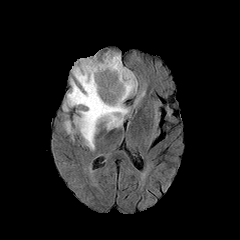
FLAIR MRI.
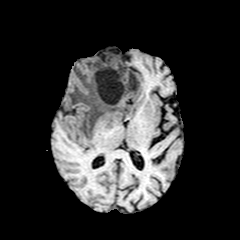
T1-weighted magnetic resonance.
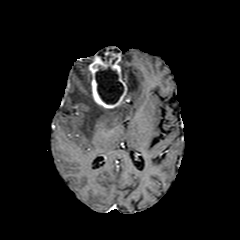
Post-contrast T1-weighted MR image of the same slice.
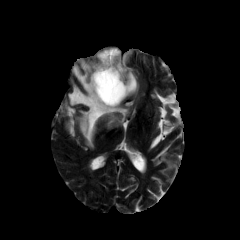
T2-weighted MR.
240x240
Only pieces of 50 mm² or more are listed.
Segmented structures:
- enhancing tumor: bbox=[88, 48, 127, 108]
- necrotic tumor core: bbox=[95, 66, 123, 104]; bbox=[97, 49, 111, 61]
- peritumoral edema: bbox=[65, 121, 74, 135]; bbox=[64, 59, 129, 149]; bbox=[120, 61, 137, 101]